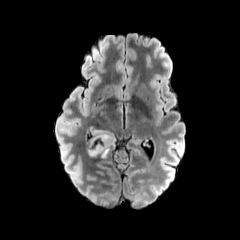
FLAIR MRI.
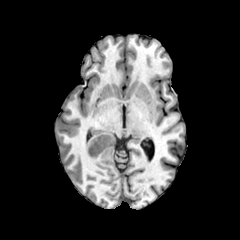
Same slice, T1-weighted magnetic resonance.
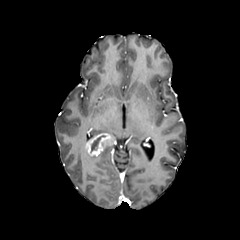
Post-contrast T1-weighted MR of the same slice.
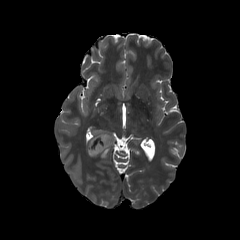
T2-weighted MR image of the same slice.
Image size 240x240; Axial view
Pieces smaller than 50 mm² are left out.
<segmentation>
  <peritumoral_edema>(100, 146, 113, 158), (90, 128, 115, 141)</peritumoral_edema>
  <enhancing_tumor>(86, 133, 114, 156)</enhancing_tumor>
  <necrotic_tumor_core>(91, 135, 104, 151)</necrotic_tumor_core>
</segmentation>